FLAIR MR image.
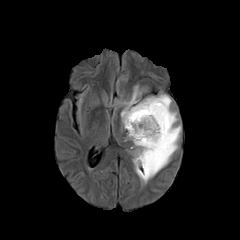
T1-weighted magnetic resonance.
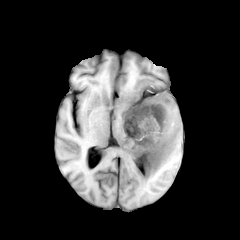
Post-contrast T1-weighted MR.
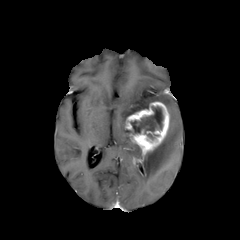
T2-weighted MR image.
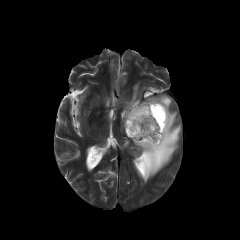
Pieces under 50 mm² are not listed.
<segmentation>
  <necrotic_tumor_core>131,107,163,133</necrotic_tumor_core>
  <enhancing_tumor>125,101,169,164</enhancing_tumor>
  <peritumoral_edema>121,85,181,183; 134,143,141,158</peritumoral_edema>
</segmentation>